Slice index 115; Axial view; Head
FLAIR MRI.
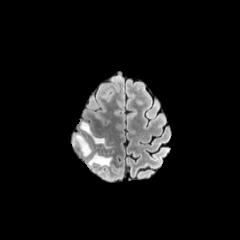
T1-weighted MR image.
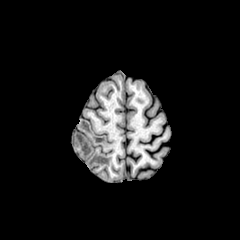
Post-contrast T1-weighted MR.
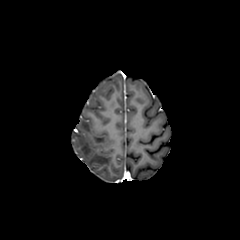
T2-weighted MRI.
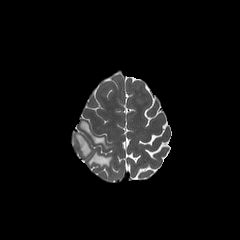
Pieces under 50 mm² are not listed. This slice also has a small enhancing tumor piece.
peritumoral edema at box(72, 133, 91, 157); box(79, 121, 112, 148); box(88, 153, 111, 166)